Slice index 131, Axial view, 240x240 px, Head
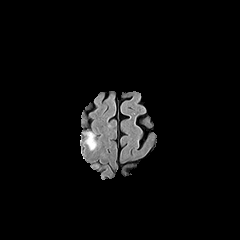
FLAIR MR image.
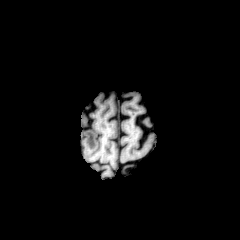
Same slice, T1-weighted magnetic resonance.
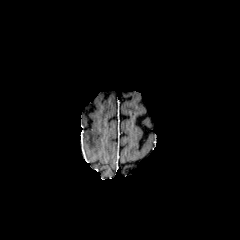
Post-contrast T1-weighted MR image.
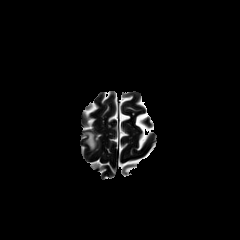
Same slice, T2-weighted MR.
peritumoral edema at x1=85, y1=132, x2=96, y2=149